FLAIR MR.
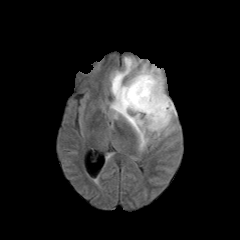
T1-weighted magnetic resonance.
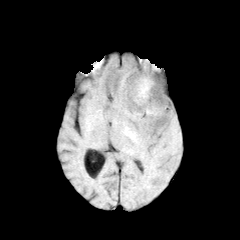
Post-contrast T1-weighted MR image.
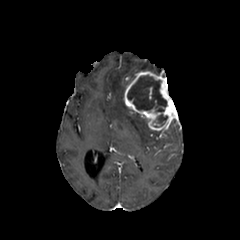
T2-weighted MR.
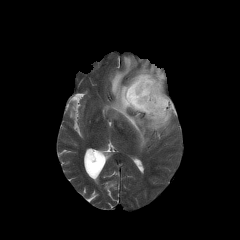
Image size 240x240 | Axial slice | Head
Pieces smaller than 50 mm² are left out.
<segmentation>
  <necrotic_tumor_core>127, 75, 166, 111; 157, 114, 167, 123</necrotic_tumor_core>
  <enhancing_tumor>123, 70, 177, 131</enhancing_tumor>
  <peritumoral_edema>110, 57, 174, 150; 140, 62, 161, 73</peritumoral_edema>
</segmentation>